FLAIR MRI.
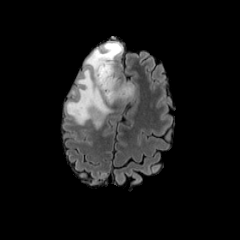
T1-weighted MR image.
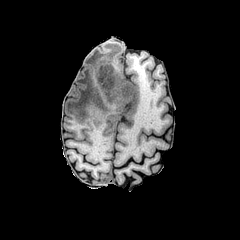
Post-contrast T1-weighted MRI.
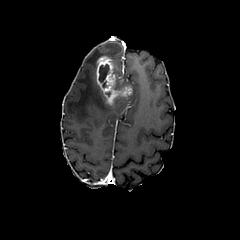
T2-weighted magnetic resonance.
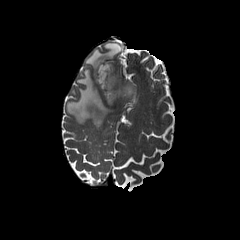
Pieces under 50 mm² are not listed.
The largest necrotic tumor core region is located at x1=99, y1=64, x2=113, y2=88. The enhancing tumor lies within x1=96, y1=55, x2=132, y2=104. The largest peritumoral edema region is located at x1=67, y1=41, x2=134, y2=128.